Image width 240 mm
FLAIR MR.
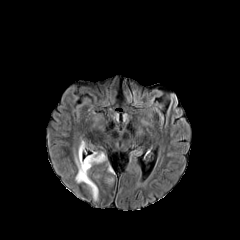
T1-weighted MR image.
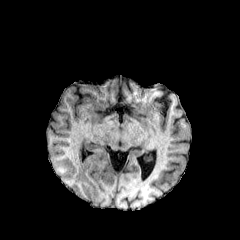
Post-contrast T1-weighted MRI.
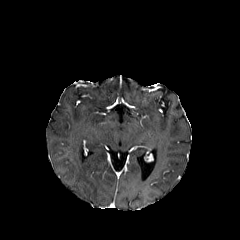
T2-weighted MR image.
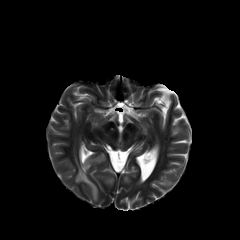
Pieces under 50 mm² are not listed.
peritumoral edema: (75, 146, 105, 200)